Slice index 66
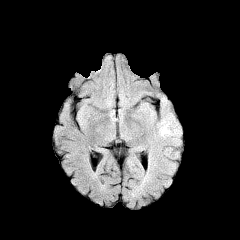
FLAIR MR image.
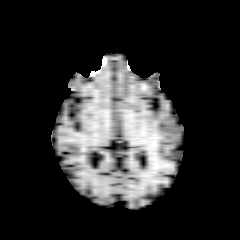
T1-weighted MR image.
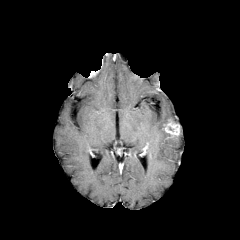
Post-contrast T1-weighted MRI.
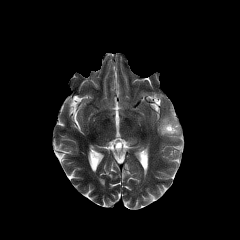
T2-weighted magnetic resonance of the same slice.
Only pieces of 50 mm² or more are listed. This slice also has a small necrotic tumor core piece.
Segmented structures:
• enhancing tumor: (x1=162, y1=118, x2=181, y2=138)
• peritumoral edema: (x1=159, y1=114, x2=174, y2=137)